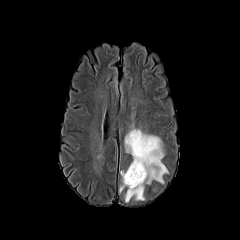
FLAIR MR image.
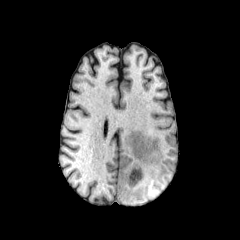
T1-weighted MR of the same slice.
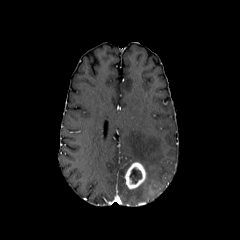
Same slice, post-contrast T1-weighted magnetic resonance.
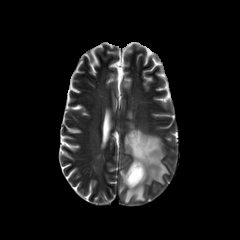
Same slice, T2-weighted magnetic resonance.
Brain.
Annotated regions:
• necrotic tumor core: box(130, 168, 141, 183)
• peritumoral edema: box(119, 170, 126, 193); box(124, 127, 168, 202)
• enhancing tumor: box(124, 161, 146, 189)